Axial view
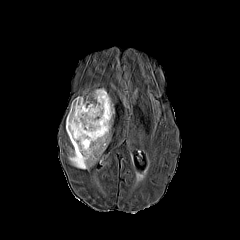
FLAIR MRI.
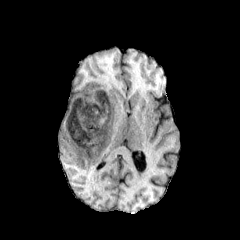
T1-weighted MR.
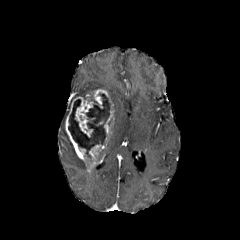
Same slice, post-contrast T1-weighted MR.
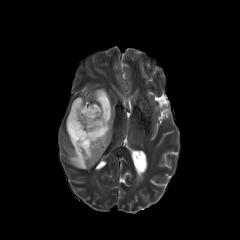
T2-weighted MR.
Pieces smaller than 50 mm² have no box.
peritumoral edema: bounding box [68,148,89,169]
enhancing tumor: bounding box [65,89,114,167]
necrotic tumor core: bounding box [68,93,110,158]